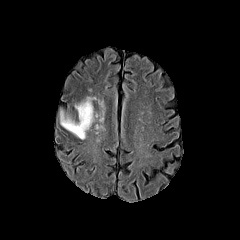
FLAIR MR.
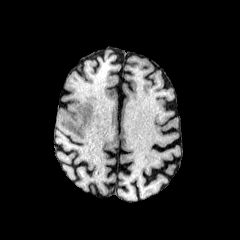
Same slice, T1-weighted MRI.
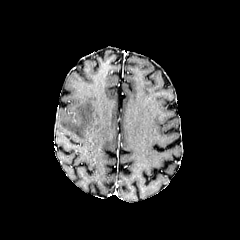
Same slice, post-contrast T1-weighted magnetic resonance.
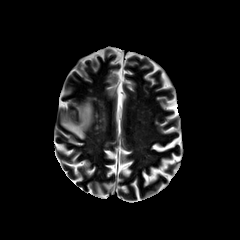
T2-weighted MR.
peritumoral edema: 60, 97, 95, 139